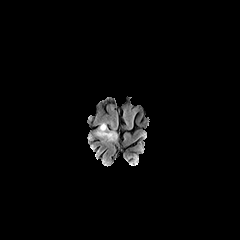
FLAIR MR image.
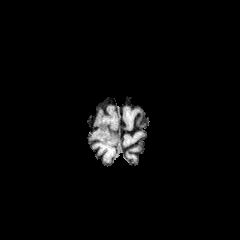
T1-weighted MR image.
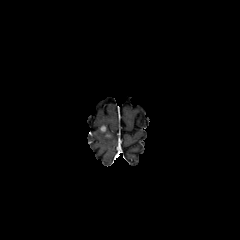
Post-contrast T1-weighted magnetic resonance.
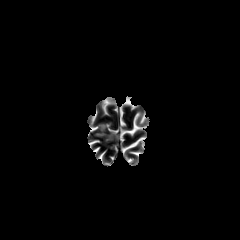
T2-weighted magnetic resonance.
240x240 px | Axial slice | Head
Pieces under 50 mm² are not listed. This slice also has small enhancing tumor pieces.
peritumoral edema: bounding box (96, 128, 117, 140)